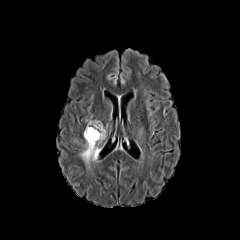
FLAIR MR.
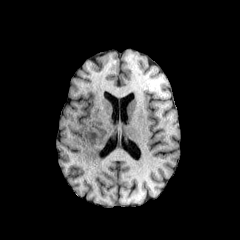
Same slice, T1-weighted MRI.
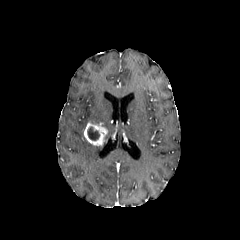
Post-contrast T1-weighted MR image.
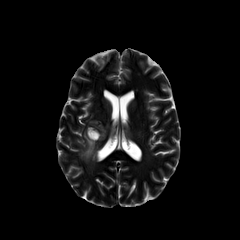
T2-weighted MR image.
Head
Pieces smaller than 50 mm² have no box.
<segmentation>
  <peritumoral_edema>left=80, top=140, right=101, bottom=164</peritumoral_edema>
  <necrotic_tumor_core>left=87, top=127, right=99, bottom=140</necrotic_tumor_core>
  <enhancing_tumor>left=84, top=122, right=107, bottom=146</enhancing_tumor>
</segmentation>